Head
FLAIR MR image.
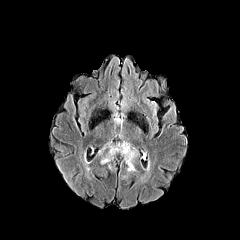
T1-weighted magnetic resonance.
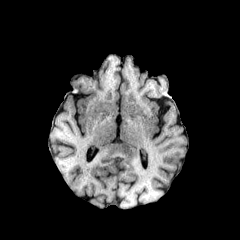
Post-contrast T1-weighted magnetic resonance.
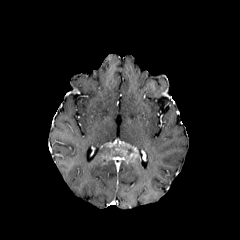
T2-weighted magnetic resonance.
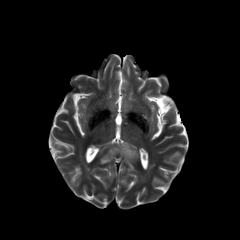
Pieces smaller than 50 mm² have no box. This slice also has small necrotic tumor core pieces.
The largest peritumoral edema region lies within region(127, 163, 135, 171). The enhancing tumor is located at region(101, 141, 139, 164).